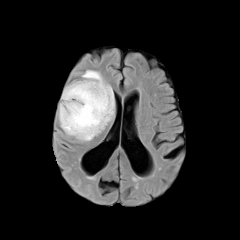
FLAIR magnetic resonance.
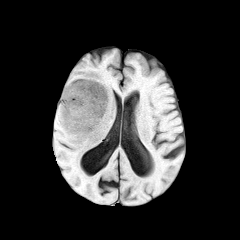
T1-weighted magnetic resonance of the same slice.
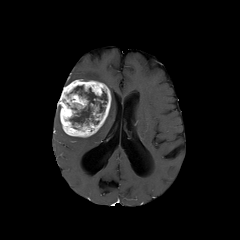
Post-contrast T1-weighted magnetic resonance.
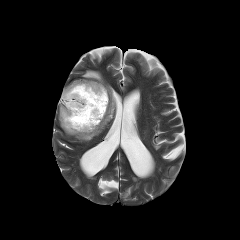
T2-weighted MRI.
Brain | Axial slice
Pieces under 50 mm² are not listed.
peritumoral edema: l=74, t=70, r=114, b=141 | necrotic tumor core: l=70, t=86, r=107, b=124 | enhancing tumor: l=58, t=79, r=111, b=137